FLAIR MR image.
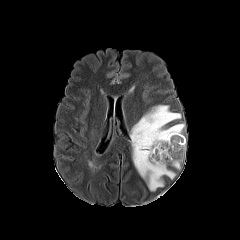
T1-weighted MR image.
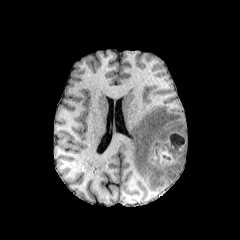
Post-contrast T1-weighted MRI.
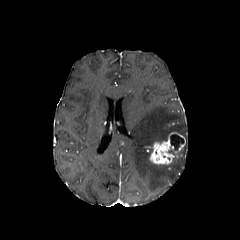
T2-weighted magnetic resonance.
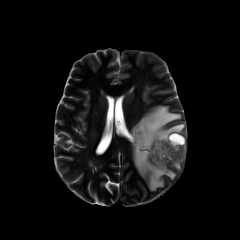
Head
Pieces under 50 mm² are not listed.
necrotic tumor core: l=170, t=134, r=184, b=150
enhancing tumor: l=149, t=132, r=185, b=164
peritumoral edema: l=171, t=145, r=185, b=169; l=130, t=105, r=184, b=191